Slice index 96; Head
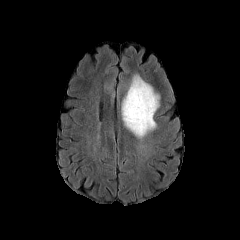
FLAIR magnetic resonance.
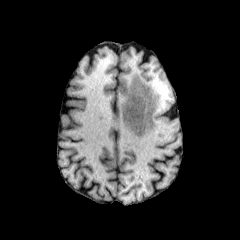
T1-weighted MR image.
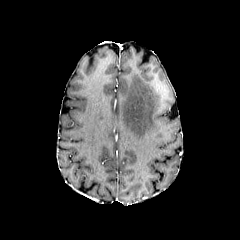
Post-contrast T1-weighted magnetic resonance.
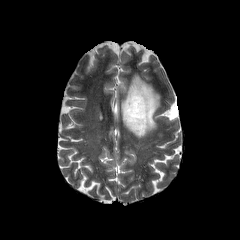
Same slice, T2-weighted MR image.
The peritumoral edema is bounded by (121, 74, 159, 137).